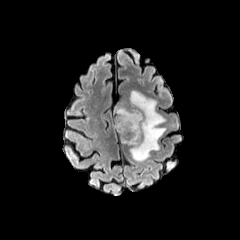
FLAIR magnetic resonance.
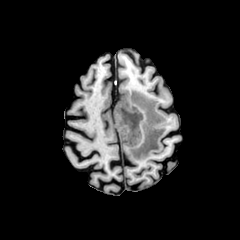
T1-weighted MRI.
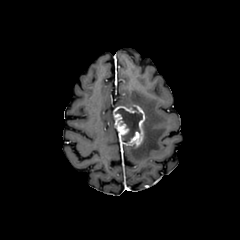
Post-contrast T1-weighted MR of the same slice.
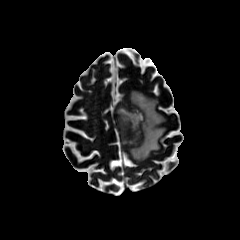
T2-weighted MR image of the same slice.
Image size 240x240.
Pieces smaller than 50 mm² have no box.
peritumoral edema = [129, 90, 165, 161]
necrotic tumor core = [115, 107, 142, 142]
enhancing tumor = [113, 105, 144, 146]